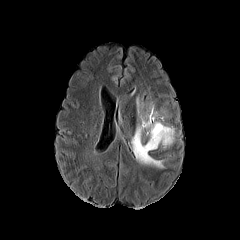
FLAIR magnetic resonance.
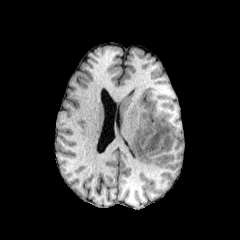
T1-weighted MRI.
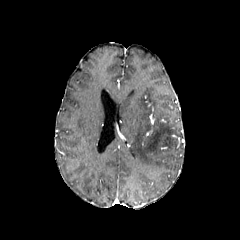
Post-contrast T1-weighted MR image.
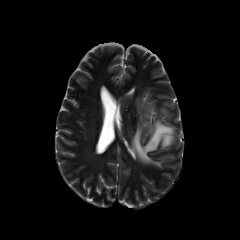
Same slice, T2-weighted magnetic resonance.
Axial slice | Brain | 240x240
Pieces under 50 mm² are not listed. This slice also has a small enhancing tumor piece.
* peritumoral edema: [131,98,175,168]